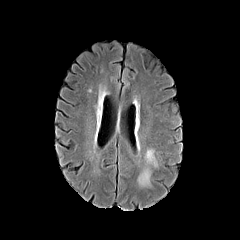
FLAIR magnetic resonance.
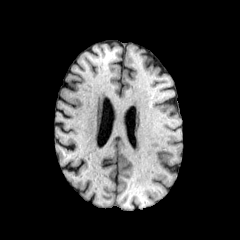
T1-weighted MR.
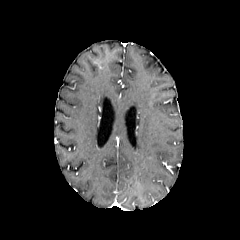
Post-contrast T1-weighted magnetic resonance.
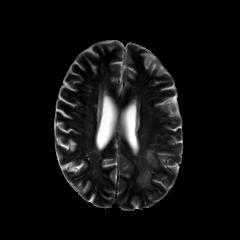
Same slice, T2-weighted magnetic resonance.
Image size 240x240; Brain
peritumoral edema = {"x1": 138, "y1": 169, "x2": 150, "y2": 185}, {"x1": 145, "y1": 150, "x2": 156, "y2": 166}